Axial view, Image covers 240 mm x 240 mm, Image size 240x240
FLAIR MRI.
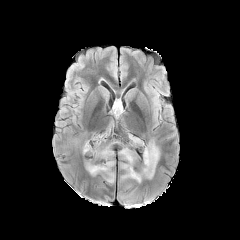
T1-weighted MRI.
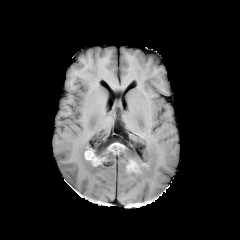
Post-contrast T1-weighted MRI.
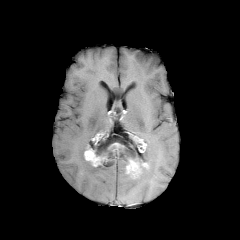
T2-weighted MR.
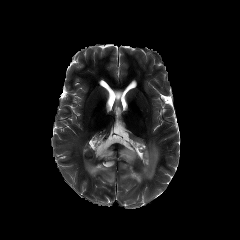
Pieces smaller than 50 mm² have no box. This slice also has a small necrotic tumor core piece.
The 2 largest peritumoral edema regions are located at x1=85 y1=139 x2=118 y2=183, x1=119 y1=142 x2=159 y2=183. The 2 largest enhancing tumor regions are located at x1=84 y1=144 x2=107 y2=166, x1=126 y1=159 x2=140 y2=178.